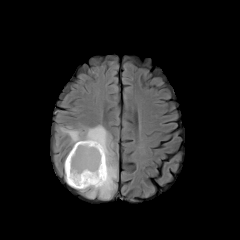
FLAIR MR image.
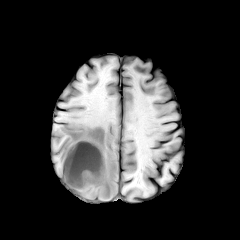
T1-weighted magnetic resonance of the same slice.
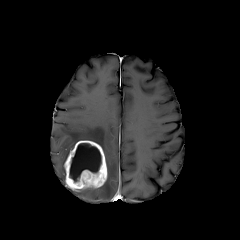
Same slice, post-contrast T1-weighted MR.
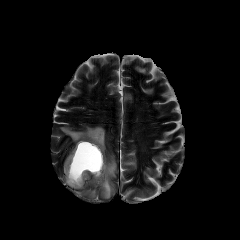
T2-weighted MR of the same slice.
Axial view
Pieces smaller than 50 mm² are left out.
peritumoral edema at [60,125,117,199]
enhancing tumor at [64,140,107,191]
necrotic tumor core at [69,143,101,181]